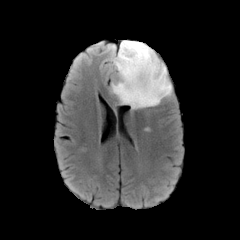
FLAIR MRI.
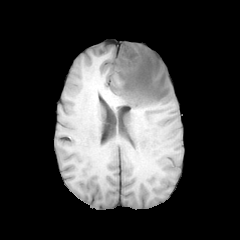
T1-weighted MR of the same slice.
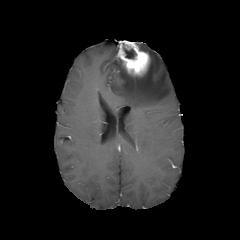
Post-contrast T1-weighted magnetic resonance.
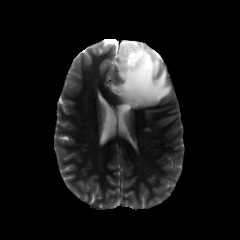
Same slice, T2-weighted MR.
Head
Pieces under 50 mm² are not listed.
necrotic tumor core: bbox=[124, 48, 135, 58] | enhancing tumor: bbox=[116, 40, 150, 76] | peritumoral edema: bbox=[110, 43, 172, 109]